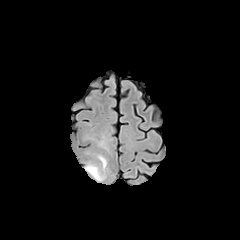
FLAIR MR.
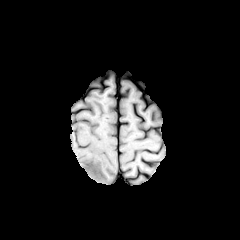
Same slice, T1-weighted magnetic resonance.
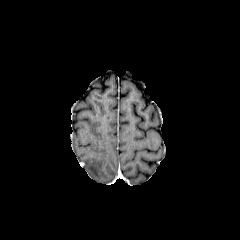
Same slice, post-contrast T1-weighted MRI.
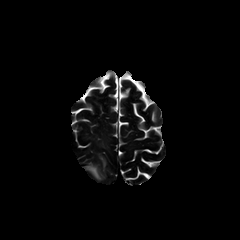
T2-weighted MR.
Axial plane, Brain
Findings:
- peritumoral edema: <box>85,164,105,180</box>, <box>98,155,106,172</box>